Axial slice, Slice index 123
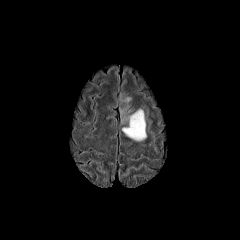
FLAIR MRI.
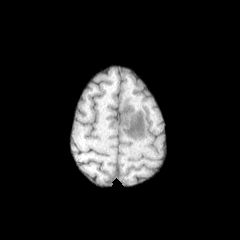
Same slice, T1-weighted MR image.
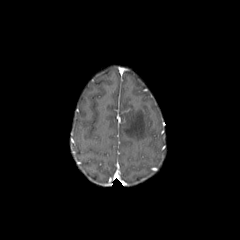
Same slice, post-contrast T1-weighted MR image.
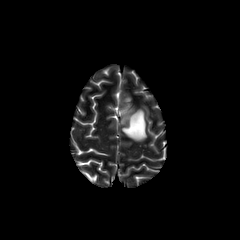
Same slice, T2-weighted MR.
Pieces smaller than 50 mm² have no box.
<segmentation>
  <peritumoral_edema>l=122, t=109, r=146, b=141</peritumoral_edema>
</segmentation>